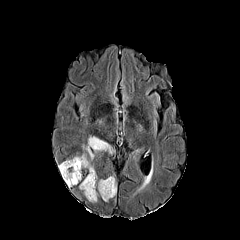
FLAIR magnetic resonance.
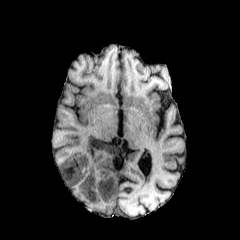
Same slice, T1-weighted MRI.
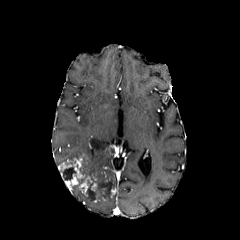
Same slice, post-contrast T1-weighted MR.
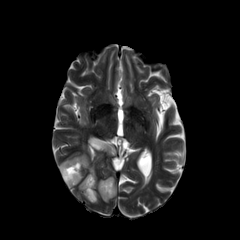
T2-weighted MR.
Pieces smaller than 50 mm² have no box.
{
  "necrotic_tumor_core": [
    {"x1": 104, "y1": 179, "x2": 112, "y2": 195},
    {"x1": 87, "y1": 176, "x2": 101, "y2": 199},
    {"x1": 62, "y1": 167, "x2": 75, "y2": 180}
  ],
  "peritumoral_edema": [
    {"x1": 100, "y1": 193, "x2": 111, "y2": 201},
    {"x1": 109, "y1": 175, "x2": 117, "y2": 189},
    {"x1": 98, "y1": 179, "x2": 106, "y2": 188},
    {"x1": 83, "y1": 135, "x2": 113, "y2": 160},
    {"x1": 83, "y1": 157, "x2": 97, "y2": 178}
  ],
  "enhancing_tumor": [
    {"x1": 58, "y1": 154, "x2": 87, "y2": 189},
    {"x1": 79, "y1": 175, "x2": 92, "y2": 196}
  ]
}